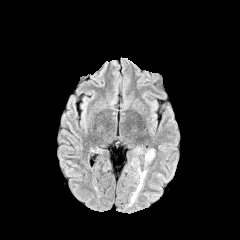
FLAIR MR.
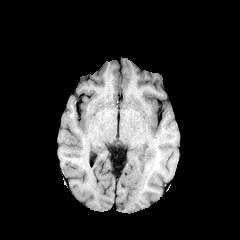
T1-weighted magnetic resonance.
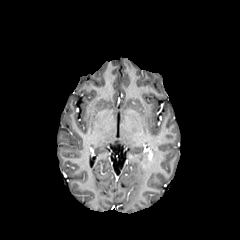
Same slice, post-contrast T1-weighted MR image.
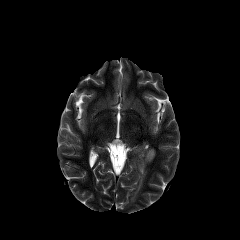
Same slice, T2-weighted MR image.
Brain; Axial slice
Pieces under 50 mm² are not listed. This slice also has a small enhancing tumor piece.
2 peritumoral edema regions are bounded by 145:149:154:161, 131:169:145:202.